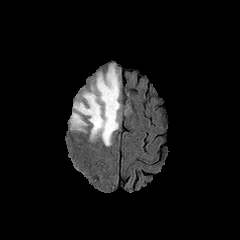
FLAIR MR image.
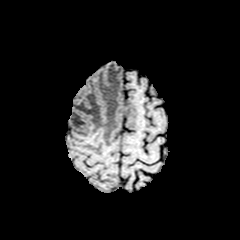
T1-weighted MRI.
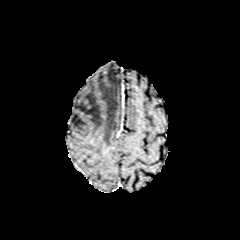
Post-contrast T1-weighted MR image.
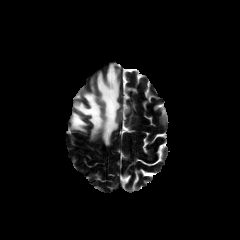
T2-weighted MR image of the same slice.
Annotated regions:
* peritumoral edema: (x1=70, y1=64, x2=120, y2=146)